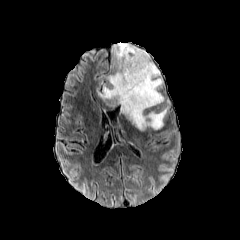
FLAIR magnetic resonance.
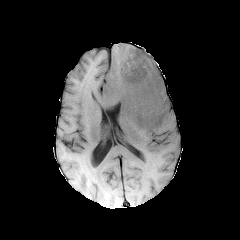
T1-weighted MR.
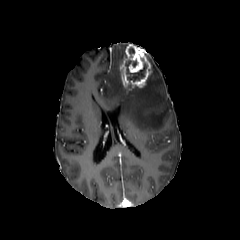
Post-contrast T1-weighted MR image.
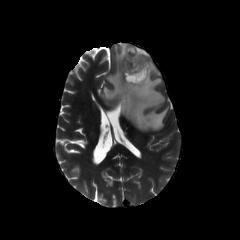
T2-weighted MR image of the same slice.
Head
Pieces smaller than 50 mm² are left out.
enhancing tumor: left=119, top=44, right=152, bottom=89
necrotic tumor core: left=125, top=60, right=147, bottom=81
peritumoral edema: left=98, top=43, right=168, bottom=130